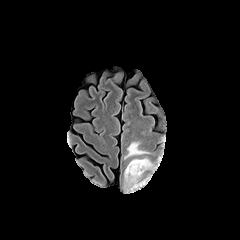
FLAIR MR image.
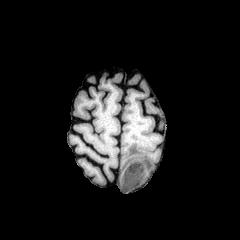
T1-weighted MR of the same slice.
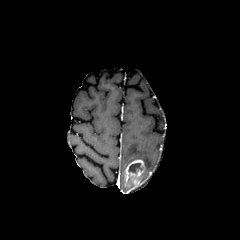
Post-contrast T1-weighted MR image of the same slice.
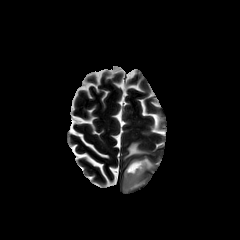
T2-weighted MR image of the same slice.
Axial view
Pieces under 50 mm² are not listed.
necrotic tumor core: bounding box (128, 163, 141, 172)
enhancing tumor: bounding box (123, 159, 147, 193)
peritumoral edema: bounding box (142, 157, 154, 169), (124, 142, 149, 159)